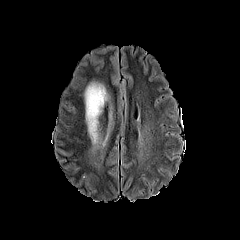
FLAIR MR.
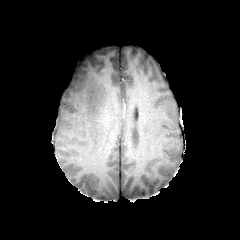
T1-weighted MR.
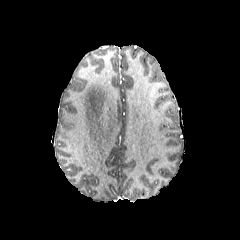
Post-contrast T1-weighted MR image.
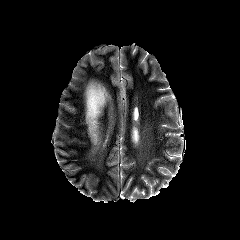
T2-weighted MR image.
Axial view; Head
<segmentation>
  <peritumoral_edema>(left=85, top=82, right=107, bottom=143)</peritumoral_edema>
</segmentation>